FLAIR MR image.
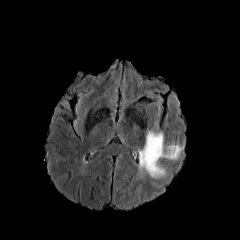
T1-weighted magnetic resonance.
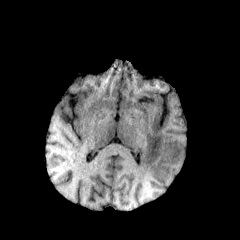
Post-contrast T1-weighted MRI.
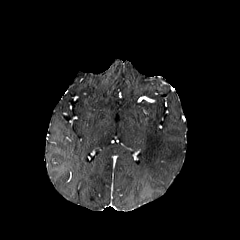
T2-weighted MRI.
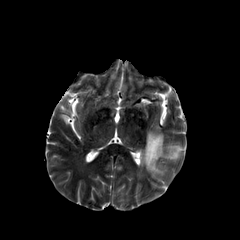
Axial plane | Brain
Annotated regions:
- peritumoral edema: 141,131,182,177